FLAIR magnetic resonance.
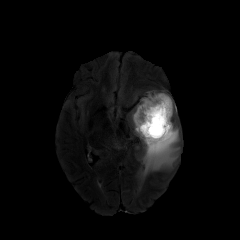
T1-weighted MRI.
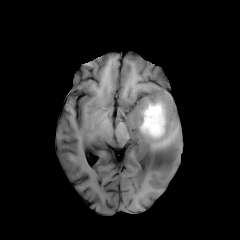
Post-contrast T1-weighted magnetic resonance.
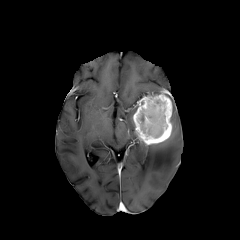
T2-weighted magnetic resonance.
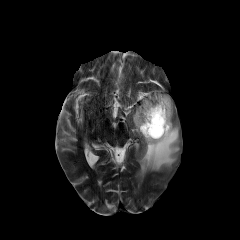
Axial view
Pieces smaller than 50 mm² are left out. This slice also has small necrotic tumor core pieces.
The enhancing tumor is at 133, 91, 172, 145. 3 peritumoral edema regions are bounded by 131, 103, 138, 134; 140, 92, 180, 177; 144, 90, 160, 95.